FLAIR MR.
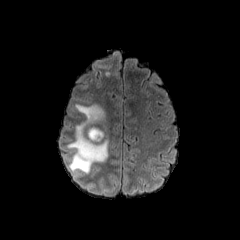
T1-weighted MR image.
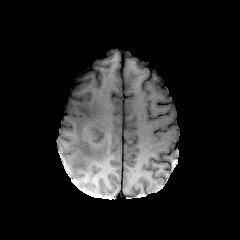
Post-contrast T1-weighted MRI.
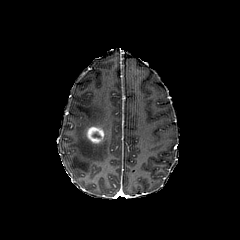
T2-weighted MR.
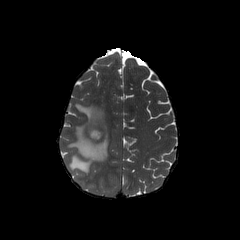
Head
enhancing tumor: bounding box 86:126:104:143
necrotic tumor core: bounding box 90:131:100:137
peritumoral edema: bounding box 67:103:109:173